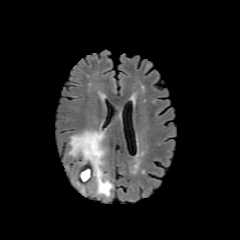
FLAIR magnetic resonance.
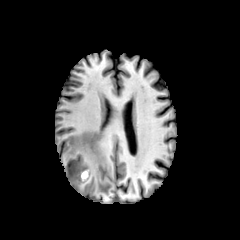
T1-weighted magnetic resonance of the same slice.
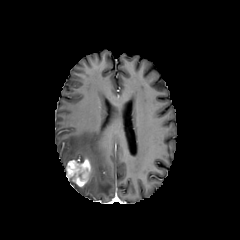
Post-contrast T1-weighted MR.
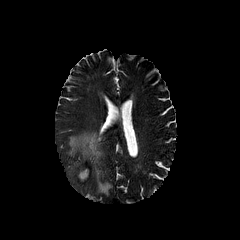
T2-weighted MRI.
Axial view | Image size 240x240
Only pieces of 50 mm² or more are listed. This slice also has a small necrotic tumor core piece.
{
  "enhancing_tumor": [
    "bbox=[66, 157, 93, 186]"
  ],
  "peritumoral_edema": [
    "bbox=[68, 130, 112, 196]"
  ]
}